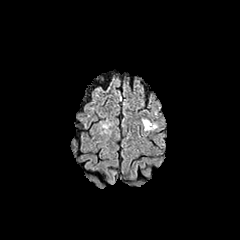
FLAIR MR.
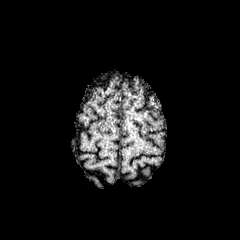
Same slice, T1-weighted MR image.
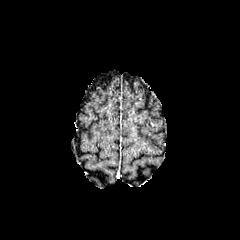
Post-contrast T1-weighted magnetic resonance.
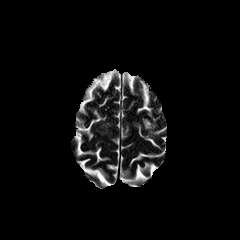
T2-weighted MRI.
Brain
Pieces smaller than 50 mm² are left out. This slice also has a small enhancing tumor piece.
The largest peritumoral edema region is located at [142,119,157,130].